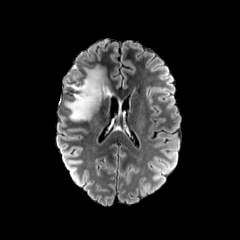
FLAIR magnetic resonance.
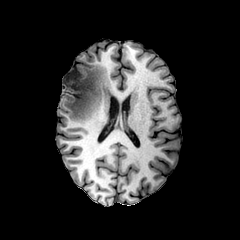
T1-weighted MRI.
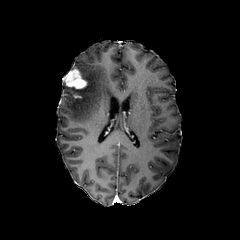
Same slice, post-contrast T1-weighted MR image.
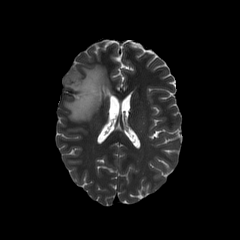
T2-weighted MR of the same slice.
Brain
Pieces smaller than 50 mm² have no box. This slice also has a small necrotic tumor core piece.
The largest enhancing tumor region is at (left=63, top=67, right=87, bottom=89). The peritumoral edema appears at (left=65, top=66, right=108, bottom=121).